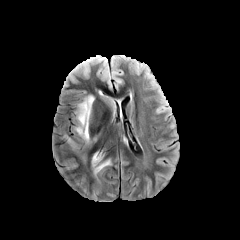
FLAIR MRI.
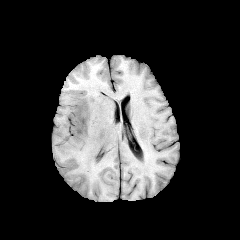
T1-weighted magnetic resonance of the same slice.
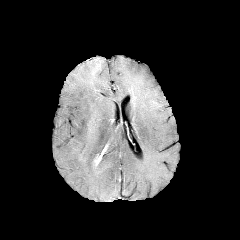
Same slice, post-contrast T1-weighted magnetic resonance.
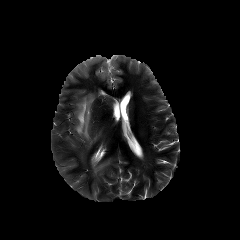
T2-weighted magnetic resonance of the same slice.
Axial plane | Head
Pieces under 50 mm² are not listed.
• peritumoral edema: region(74, 95, 94, 143); region(91, 151, 111, 174)